Head; Image width 240 mm, 1.00 mm slice spacing; Axial slice; Slice 112 of 155; 240x240
FLAIR MRI.
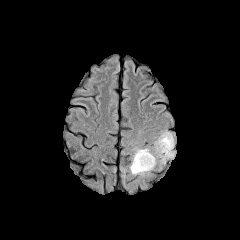
T1-weighted MRI.
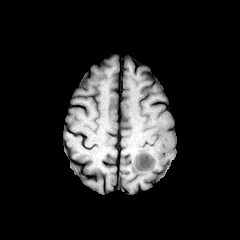
Post-contrast T1-weighted MR.
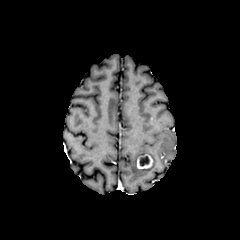
T2-weighted magnetic resonance.
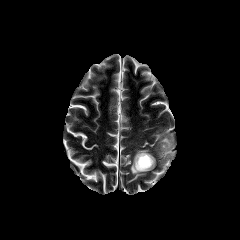
<segmentation>
  <peritumoral_edema>left=130, top=148, right=156, bottom=175; left=156, top=131, right=175, bottom=162</peritumoral_edema>
  <enhancing_tumor>left=137, top=154, right=153, bottom=169</enhancing_tumor>
  <necrotic_tumor_core>left=140, top=156, right=149, bottom=165</necrotic_tumor_core>
</segmentation>